Axial plane, Slice 82 of 155
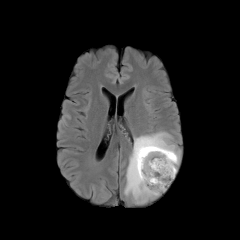
FLAIR magnetic resonance.
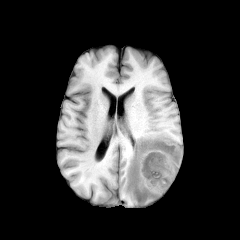
T1-weighted MR image.
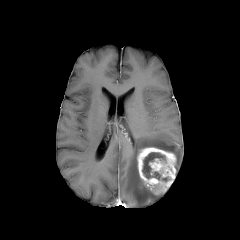
Post-contrast T1-weighted MR image.
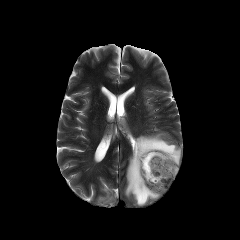
T2-weighted magnetic resonance of the same slice.
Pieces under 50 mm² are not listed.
peritumoral edema: bounding box bbox=[124, 132, 180, 206]
enhancing tumor: bounding box bbox=[137, 147, 176, 194]
necrotic tumor core: bounding box bbox=[142, 152, 165, 179]